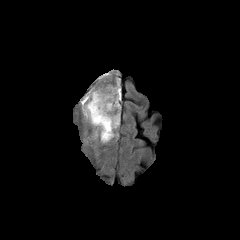
FLAIR MR.
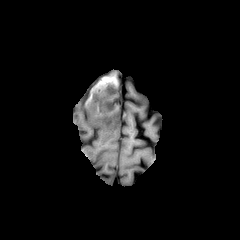
Same slice, T1-weighted magnetic resonance.
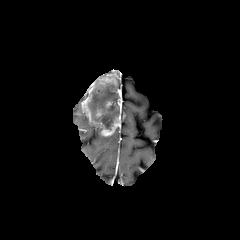
Post-contrast T1-weighted MRI.
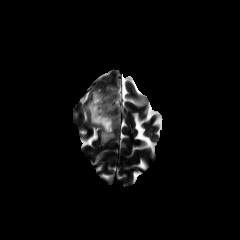
T2-weighted MR image.
Axial slice; Head
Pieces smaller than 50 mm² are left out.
<segmentation>
  <enhancing_tumor>[x1=81, y1=74, x2=121, y2=136]</enhancing_tumor>
  <necrotic_tumor_core>[x1=88, y1=82, x2=119, y2=130]</necrotic_tumor_core>
  <peritumoral_edema>[x1=100, y1=131, x2=117, y2=143]</peritumoral_edema>
</segmentation>